Axial view | Slice 55/155
FLAIR magnetic resonance.
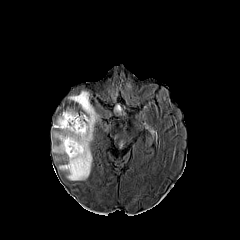
T1-weighted MR image.
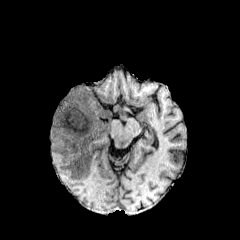
Post-contrast T1-weighted magnetic resonance.
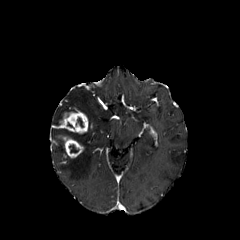
T2-weighted magnetic resonance.
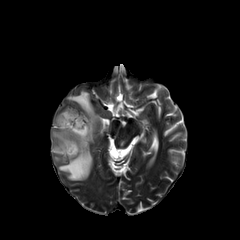
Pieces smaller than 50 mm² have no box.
* enhancing tumor: <bbox>58, 110, 88, 133</bbox>, <bbox>56, 135, 84, 158</bbox>
* peritumoral edema: <bbox>53, 129, 69, 139</bbox>, <bbox>59, 91, 98, 180</bbox>, <bbox>52, 139, 66, 155</bbox>
* necrotic tumor core: <bbox>69, 145, 78, 152</bbox>, <bbox>68, 131, 83, 142</bbox>